FLAIR magnetic resonance.
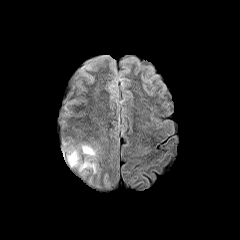
T1-weighted MR image.
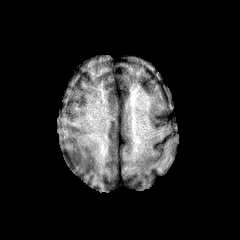
Post-contrast T1-weighted MR.
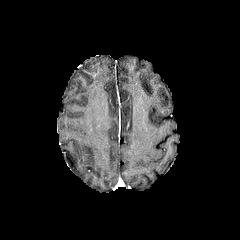
T2-weighted MR image.
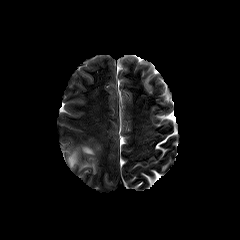
Axial slice. 240x240. Head.
{
  "peritumoral_edema": [
    "<bbox>80, 161, 95, 171</bbox>",
    "<bbox>68, 150, 79, 166</bbox>",
    "<bbox>82, 145, 95, 156</bbox>"
  ]
}